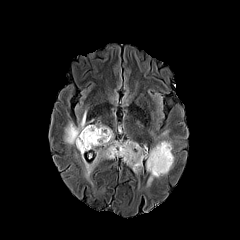
FLAIR MRI.
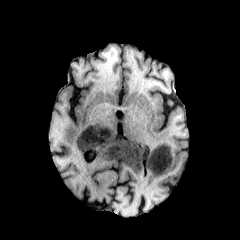
T1-weighted MRI.
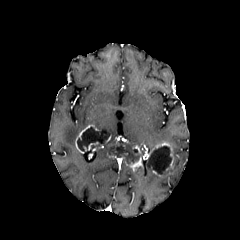
Post-contrast T1-weighted magnetic resonance of the same slice.
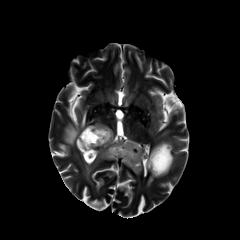
T2-weighted MR image.
Image size 240x240; Axial view; Head
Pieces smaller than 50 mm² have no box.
The 3 largest necrotic tumor core regions appear at left=148, top=146, right=171, bottom=174; left=77, top=126, right=110, bottom=151; left=122, top=144, right=143, bottom=164. The 4 largest peritumoral edema regions appear at left=81, top=140, right=149, bottom=185; left=146, top=162, right=158, bottom=186; left=64, top=111, right=86, bottom=144; left=95, top=123, right=113, bottom=138. The 5 largest enhancing tumor regions are bounded by left=125, top=156, right=141, bottom=171; left=143, top=148, right=154, bottom=159; left=84, top=142, right=98, bottom=151; left=75, top=124, right=99, bottom=153; left=155, top=142, right=173, bottom=170.